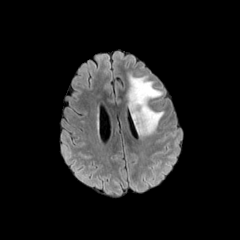
FLAIR MR.
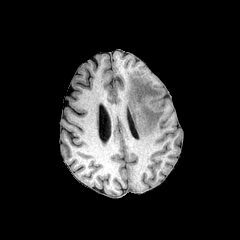
T1-weighted magnetic resonance of the same slice.
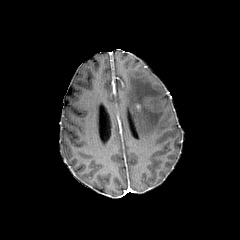
Post-contrast T1-weighted MR.
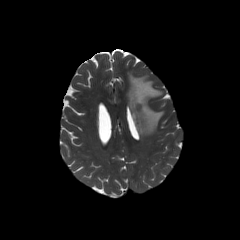
T2-weighted MR.
Axial view
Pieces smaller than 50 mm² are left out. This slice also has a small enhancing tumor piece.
peritumoral edema: [127, 74, 163, 135]